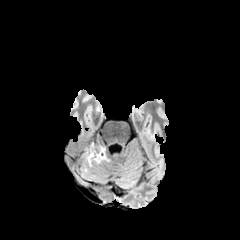
FLAIR magnetic resonance.
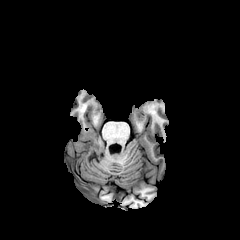
Same slice, T1-weighted magnetic resonance.
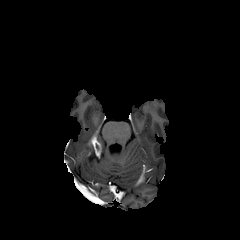
Post-contrast T1-weighted magnetic resonance of the same slice.
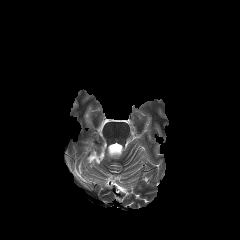
T2-weighted MR image.
Brain. 240x240.
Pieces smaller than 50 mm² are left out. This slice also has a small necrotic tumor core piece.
peritumoral edema: 84, 145, 110, 171
enhancing tumor: 92, 139, 101, 156